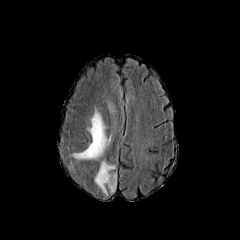
FLAIR MR.
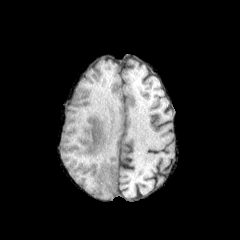
T1-weighted MR of the same slice.
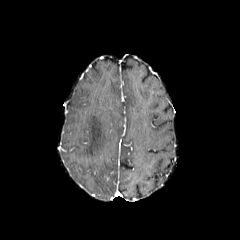
Post-contrast T1-weighted MR image.
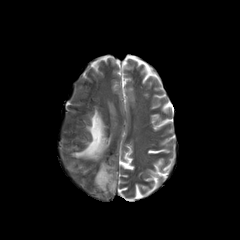
T2-weighted MR image.
240x240 px.
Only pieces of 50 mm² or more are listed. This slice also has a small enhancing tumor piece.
peritumoral edema: x1=95, y1=159, x2=116, y2=194; x1=70, y1=108, x2=112, y2=160